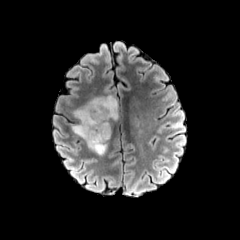
FLAIR MRI.
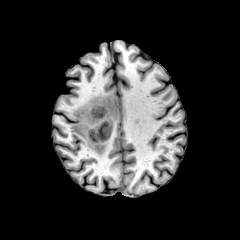
T1-weighted MR.
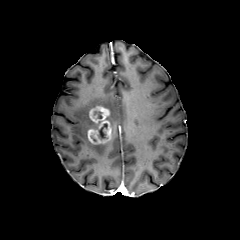
Post-contrast T1-weighted MRI.
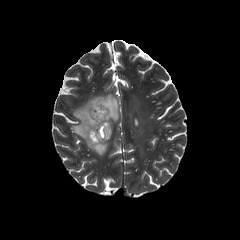
Same slice, T2-weighted MRI.
Image size 240x240 | Brain
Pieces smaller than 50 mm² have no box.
enhancing tumor = [87,105,112,144]
necrotic tumor core = [99,123,107,138]
peritumoral edema = [71,95,118,155]